Slice index 93, Axial slice, Image size 240x240
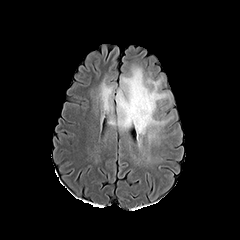
FLAIR MR image.
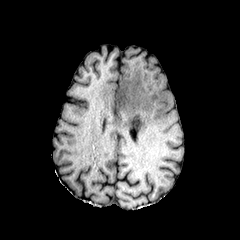
T1-weighted MR image of the same slice.
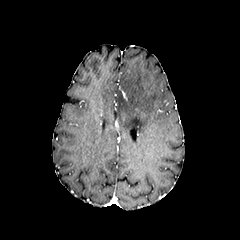
Post-contrast T1-weighted MR.
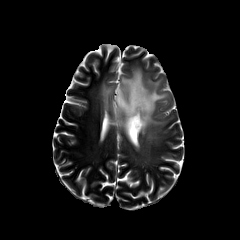
T2-weighted magnetic resonance.
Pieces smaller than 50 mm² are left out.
Annotated regions:
- peritumoral edema: [115,66,168,145], [99,82,115,120]